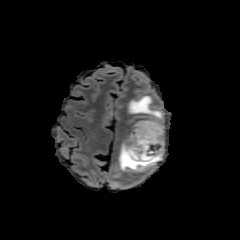
FLAIR MR.
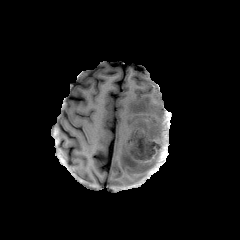
T1-weighted MRI.
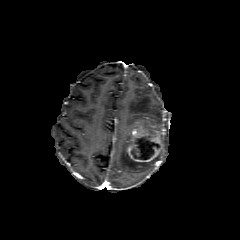
Same slice, post-contrast T1-weighted MR.
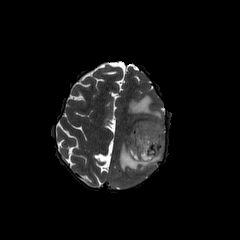
Same slice, T2-weighted MR.
Axial slice | Head
{
  "peritumoral_edema": [
    "rect(128, 95, 165, 127)",
    "rect(118, 135, 162, 171)"
  ],
  "enhancing_tumor": [
    "rect(126, 120, 166, 163)"
  ],
  "necrotic_tumor_core": [
    "rect(131, 136, 158, 159)"
  ]
}